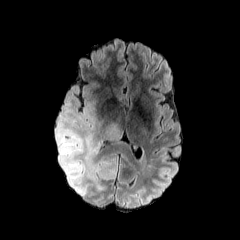
FLAIR MR.
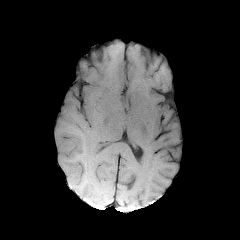
T1-weighted MRI.
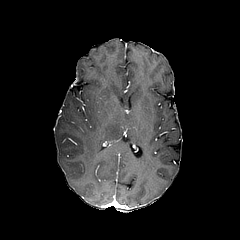
Post-contrast T1-weighted magnetic resonance.
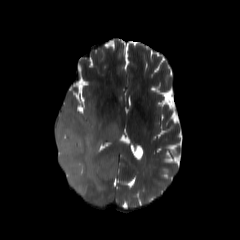
T2-weighted MRI.
peritumoral edema: bbox(55, 91, 123, 196)